FLAIR magnetic resonance.
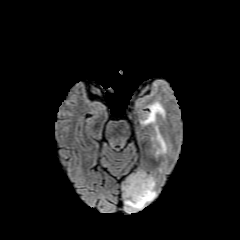
T1-weighted MR image.
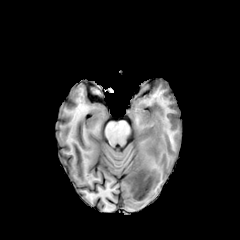
Post-contrast T1-weighted magnetic resonance.
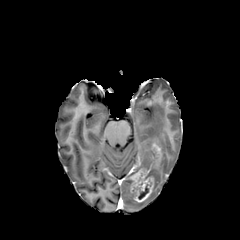
T2-weighted MRI.
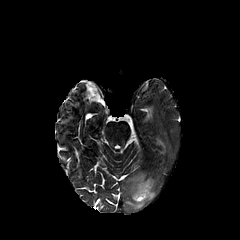
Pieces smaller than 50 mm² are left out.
Annotated regions:
• peritumoral edema: 142,102,164,124; 122,178,156,211; 154,125,166,154
• necrotic tumor core: 138,184,148,199
• enhancing tumor: 129,169,153,202